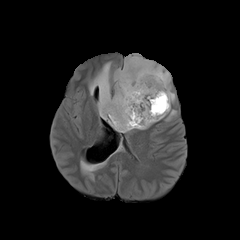
FLAIR MR image.
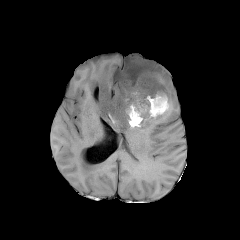
T1-weighted MRI.
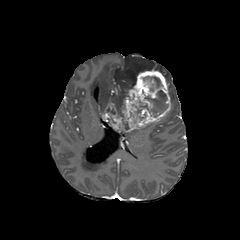
Same slice, post-contrast T1-weighted MR image.
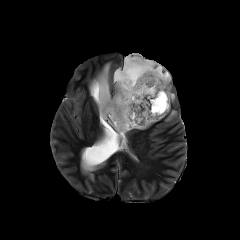
T2-weighted MR image.
240x240 px. Head.
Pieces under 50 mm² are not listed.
peritumoral edema at [x1=89, y1=55, x2=175, y2=116], [x1=166, y1=110, x2=176, y2=120]
enhancing tumor at [x1=100, y1=69, x2=170, y2=132]
necrotic tumor core at [x1=145, y1=90, x2=167, y2=116]